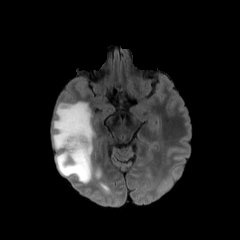
FLAIR MRI.
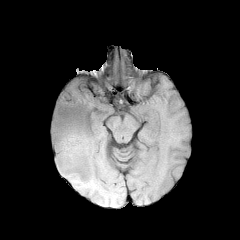
T1-weighted MR.
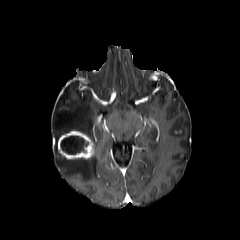
Post-contrast T1-weighted MR image.
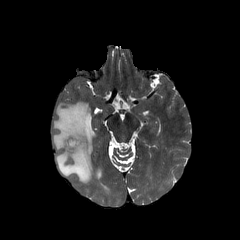
T2-weighted magnetic resonance.
Brain.
The peritumoral edema is located at rect(52, 101, 100, 183). The necrotic tumor core appears at rect(61, 136, 88, 154). The enhancing tumor is at rect(57, 130, 94, 159).